Slice 85/155. Brain.
FLAIR MR image.
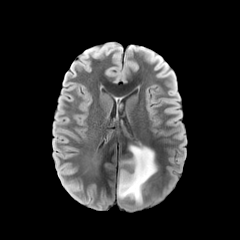
T1-weighted MR image.
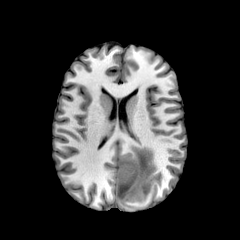
Post-contrast T1-weighted MR.
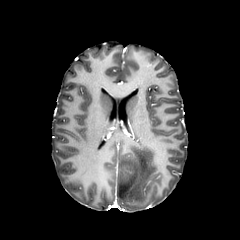
T2-weighted magnetic resonance.
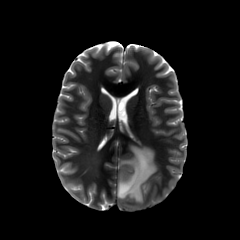
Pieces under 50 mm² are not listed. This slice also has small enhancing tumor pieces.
<segmentation>
  <peritumoral_edema>bbox(117, 145, 156, 204)</peritumoral_edema>
  <necrotic_tumor_core>bbox(121, 153, 135, 172)</necrotic_tumor_core>
</segmentation>